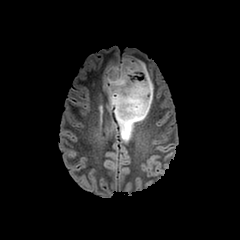
FLAIR magnetic resonance.
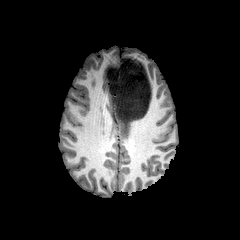
T1-weighted MRI.
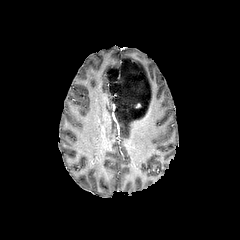
Post-contrast T1-weighted magnetic resonance of the same slice.
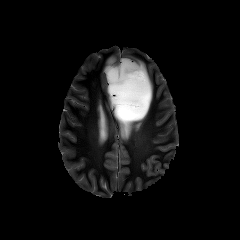
T2-weighted MR image of the same slice.
Axial slice; 240x240
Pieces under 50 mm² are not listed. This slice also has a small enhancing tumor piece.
Findings:
• peritumoral edema: box(105, 57, 153, 141)